Slice index 92, Head, Image width 240 mm, 1.00 mm slice spacing
FLAIR magnetic resonance.
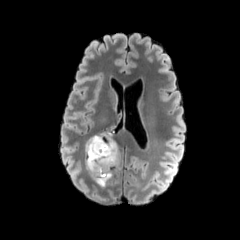
T1-weighted MRI.
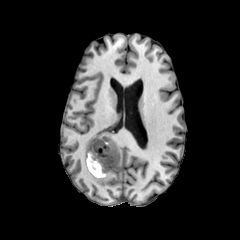
Post-contrast T1-weighted MR image.
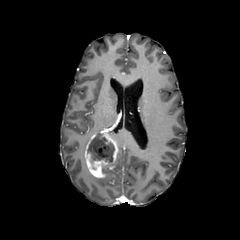
T2-weighted magnetic resonance.
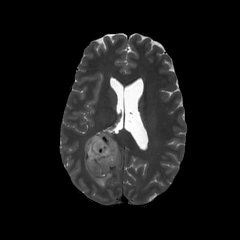
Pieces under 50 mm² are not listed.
<segmentation>
  <peritumoral_edema>x1=84, y1=130, x2=99, y2=162; x1=90, y1=170, x2=111, y2=187; x1=109, y1=132, x2=120, y2=166</peritumoral_edema>
  <enhancing_tumor>x1=85, y1=131, x2=118, y2=178</enhancing_tumor>
  <necrotic_tumor_core>x1=88, y1=135, x2=114, y2=162</necrotic_tumor_core>
</segmentation>